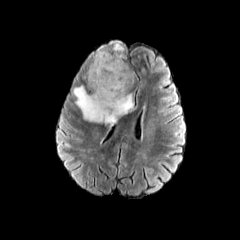
FLAIR MRI.
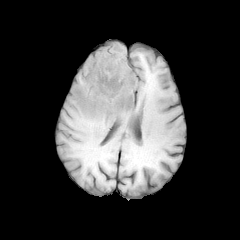
T1-weighted MR image.
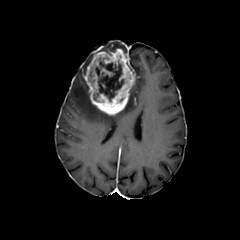
Post-contrast T1-weighted MR image.
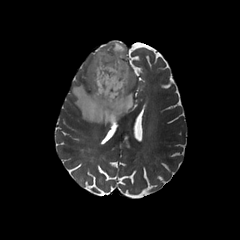
T2-weighted MRI.
Brain, Axial slice
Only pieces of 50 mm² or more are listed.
The 2 largest peritumoral edema regions are located at [x1=103, y1=40, x2=125, y2=53], [x1=72, y1=84, x2=135, y2=134]. The 2 largest necrotic tumor core regions are located at [x1=93, y1=56, x2=129, y2=102], [x1=88, y1=72, x2=96, y2=89]. The 2 largest enhancing tumor regions are located at [x1=101, y1=68, x2=112, y2=75], [x1=84, y1=45, x2=135, y2=115].